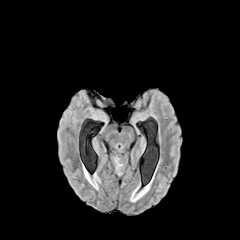
FLAIR MR image.
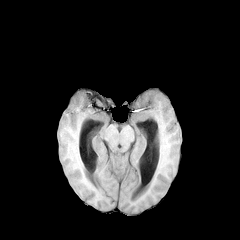
T1-weighted magnetic resonance.
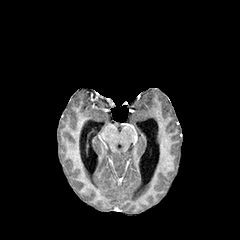
Same slice, post-contrast T1-weighted MRI.
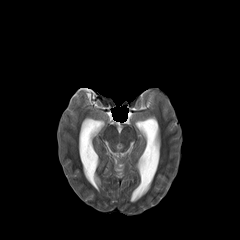
T2-weighted MR.
Brain; Axial plane; Image size 240x240
- peritumoral edema: 115:158:122:170